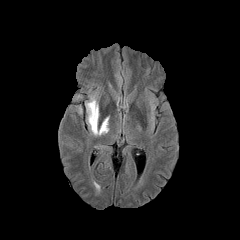
FLAIR magnetic resonance.
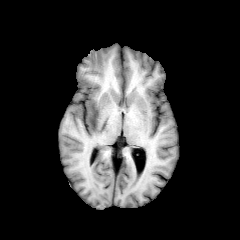
T1-weighted MR of the same slice.
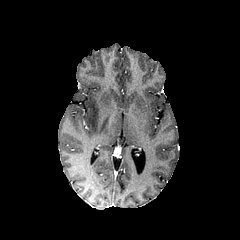
Post-contrast T1-weighted magnetic resonance of the same slice.
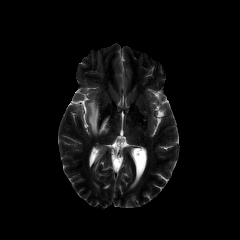
T2-weighted MR.
Head
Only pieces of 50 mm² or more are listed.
{"peritumoral_edema": ["rect(86, 98, 108, 135)"]}